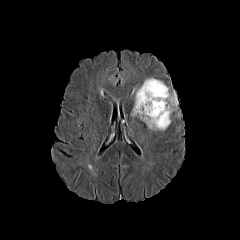
FLAIR MR image.
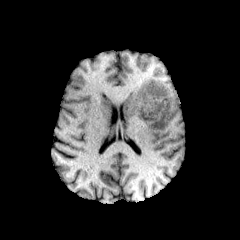
T1-weighted MR.
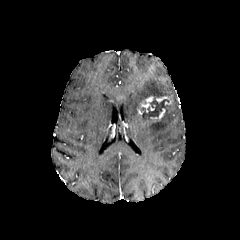
Post-contrast T1-weighted MRI of the same slice.
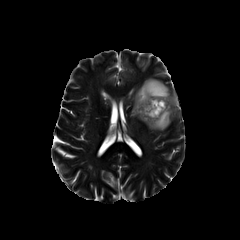
T2-weighted MR.
Brain | 240x240
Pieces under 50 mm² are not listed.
peritumoral edema — 131, 78, 177, 130
necrotic tumor core — 141, 98, 168, 120
enhancing tumor — 147, 108, 165, 122; 137, 96, 173, 117